FLAIR MR image.
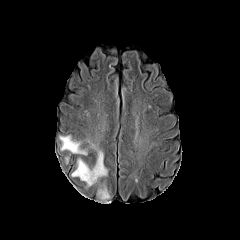
T1-weighted MR.
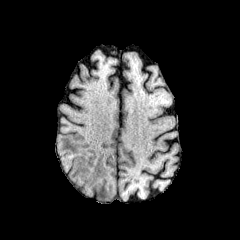
Post-contrast T1-weighted MR image.
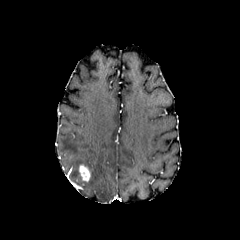
T2-weighted MR.
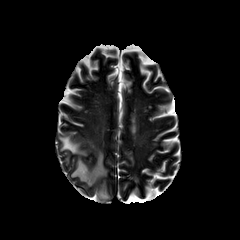
Head | Image size 240x240
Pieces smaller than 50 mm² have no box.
{
  "enhancing_tumor": [
    "box(78, 164, 90, 182)"
  ],
  "peritumoral_edema": [
    "box(72, 140, 107, 186)",
    "box(97, 184, 110, 200)",
    "box(59, 136, 87, 155)"
  ]
}